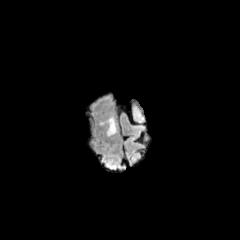
FLAIR MR image.
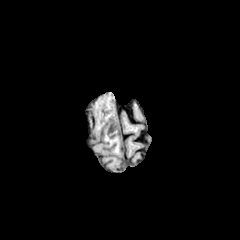
T1-weighted MR.
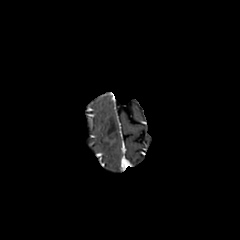
Post-contrast T1-weighted MR of the same slice.
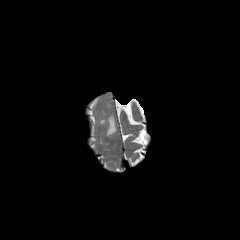
T2-weighted MR.
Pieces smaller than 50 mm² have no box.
<segmentation>
  <peritumoral_edema>x1=107, y1=116, x2=116, y2=135</peritumoral_edema>
</segmentation>